Slice 73/155 | Head
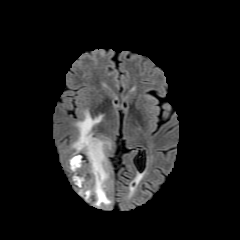
FLAIR MR image.
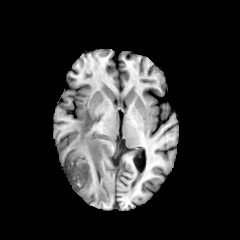
Same slice, T1-weighted magnetic resonance.
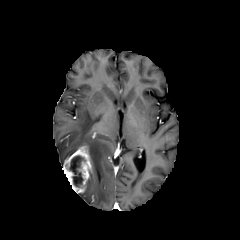
Post-contrast T1-weighted MR image.
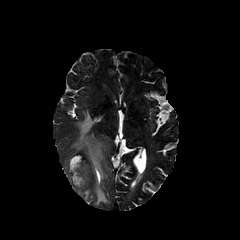
Same slice, T2-weighted magnetic resonance.
The enhancing tumor is located at 63,142,92,192. The peritumoral edema lies within 71,110,110,206. The necrotic tumor core lies within 67,155,85,187.